FLAIR magnetic resonance.
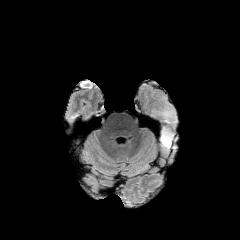
T1-weighted MR image.
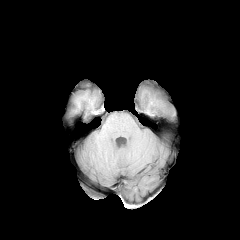
Post-contrast T1-weighted MRI.
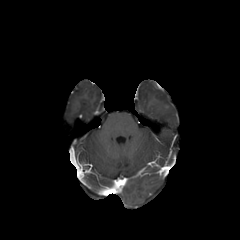
T2-weighted MR image.
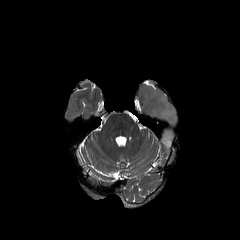
Head
peritumoral_edema:
  - (159,128,175,153)
  - (151,96,175,123)